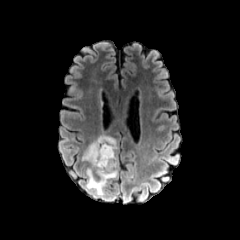
FLAIR magnetic resonance.
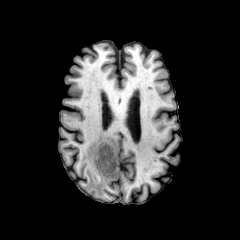
T1-weighted MR.
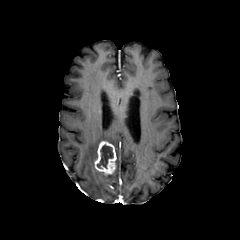
Post-contrast T1-weighted MR image of the same slice.
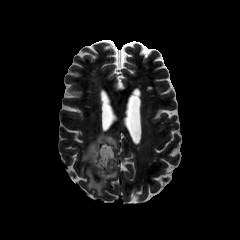
T2-weighted magnetic resonance of the same slice.
Axial view. Image size 240x240.
The necrotic tumor core appears at <bbox>97, 145, 113, 168</bbox>. The enhancing tumor is at <bbox>94, 141, 116, 176</bbox>. The peritumoral edema lies within <bbox>82, 134, 118, 195</bbox>.